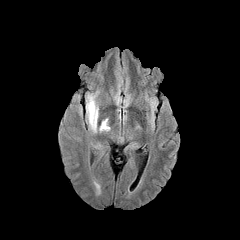
FLAIR MRI.
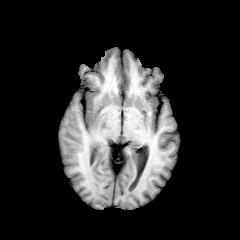
Same slice, T1-weighted magnetic resonance.
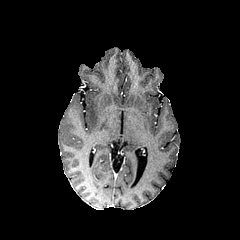
Post-contrast T1-weighted MR image.
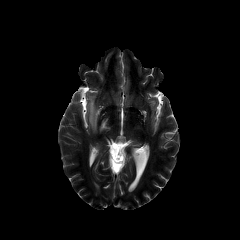
T2-weighted MR.
Head; Axial slice
peritumoral edema: bounding box {"x1": 100, "y1": 119, "x2": 109, "y2": 130}, {"x1": 87, "y1": 96, "x2": 97, "y2": 131}